Head, Slice 45 of 155, Axial plane, Image size 240x240
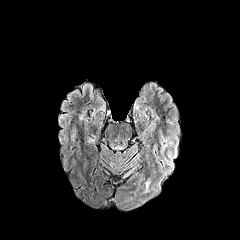
FLAIR MR.
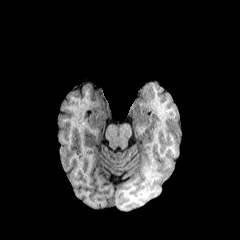
T1-weighted MR.
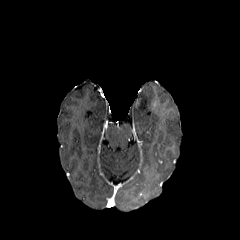
Post-contrast T1-weighted MRI of the same slice.
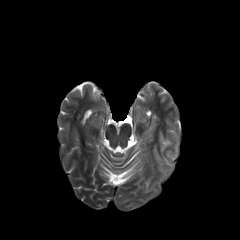
T2-weighted MR.
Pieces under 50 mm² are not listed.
<segmentation>
  <peritumoral_edema>(left=164, top=153, right=173, bottom=167)</peritumoral_edema>
</segmentation>